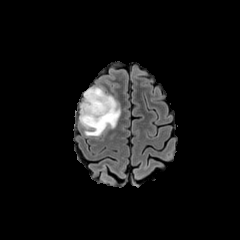
FLAIR MR.
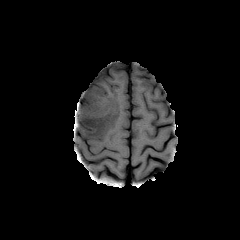
T1-weighted magnetic resonance.
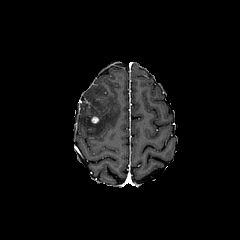
Post-contrast T1-weighted MR.
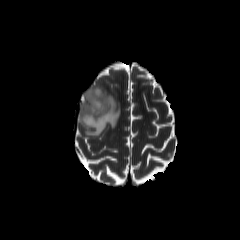
T2-weighted magnetic resonance of the same slice.
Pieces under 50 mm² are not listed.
Segmented structures:
* peritumoral edema: (79, 87, 120, 136)
* enhancing tumor: (91, 115, 99, 123)